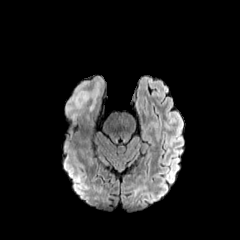
FLAIR MR image.
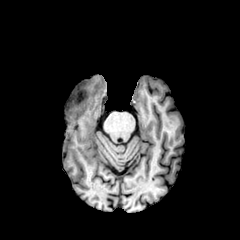
T1-weighted magnetic resonance.
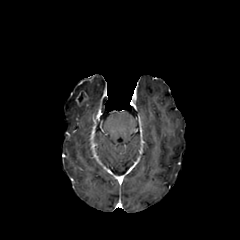
Post-contrast T1-weighted MR image.
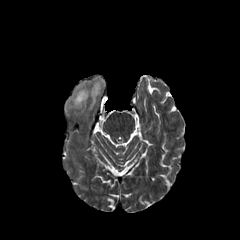
T2-weighted MRI of the same slice.
Axial slice; 240x240 px
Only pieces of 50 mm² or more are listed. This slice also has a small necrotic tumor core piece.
The enhancing tumor is at (75, 91, 88, 106). The peritumoral edema is located at (65, 77, 103, 116).